Axial view; Brain
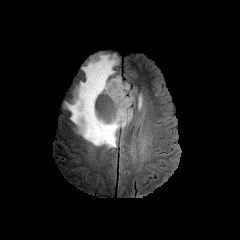
FLAIR MR image.
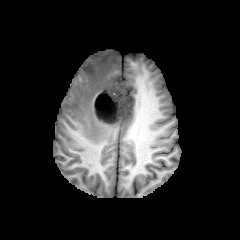
T1-weighted MRI of the same slice.
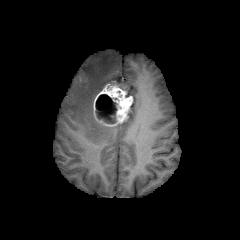
Post-contrast T1-weighted magnetic resonance of the same slice.
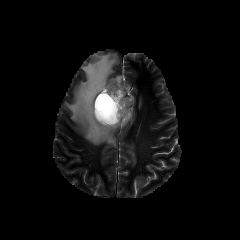
T2-weighted MR image of the same slice.
The enhancing tumor appears at 93 81 133 126. The necrotic tumor core lies within 95 94 116 123. 2 peritumoral edema regions are located at 65 53 132 148, 138 95 142 108.